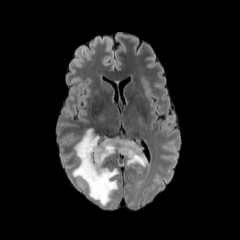
FLAIR magnetic resonance.
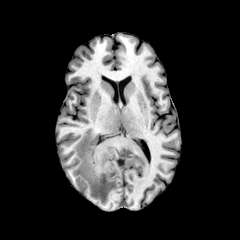
T1-weighted magnetic resonance.
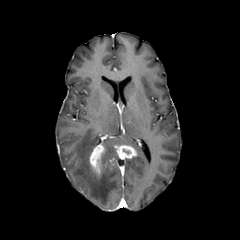
Post-contrast T1-weighted MRI of the same slice.
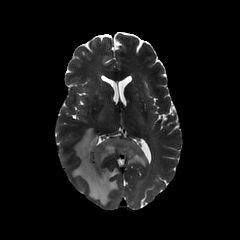
T2-weighted MR image.
Axial slice.
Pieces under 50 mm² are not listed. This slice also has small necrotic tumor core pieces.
The peritumoral edema is at bbox=[72, 128, 146, 205]. 2 enhancing tumor regions appear at bbox=[89, 145, 104, 175]; bbox=[115, 145, 136, 158].